240x240 px, Slice index 59, Brain
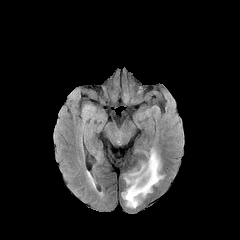
FLAIR MR image.
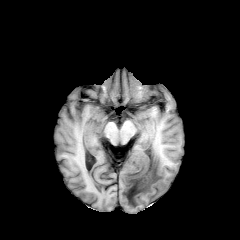
Same slice, T1-weighted MR image.
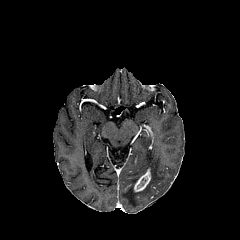
Post-contrast T1-weighted magnetic resonance.
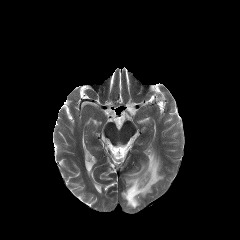
T2-weighted magnetic resonance.
The enhancing tumor is located at 133:168:151:192. The peritumoral edema appears at 122:149:163:208.